FLAIR MR.
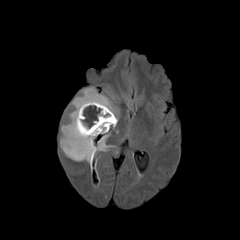
T1-weighted MR image.
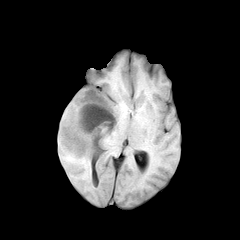
Post-contrast T1-weighted magnetic resonance.
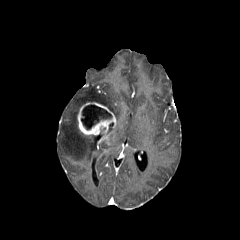
T2-weighted magnetic resonance.
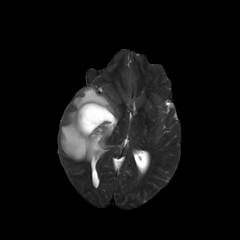
Axial slice. Brain.
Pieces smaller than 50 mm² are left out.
Annotated regions:
- necrotic tumor core: bbox(81, 104, 112, 129)
- enhancing tumor: bbox(77, 102, 116, 135)
- peritumoral edema: bbox(60, 87, 118, 162); bbox(99, 128, 113, 149)